Slice 78 of 155. Axial slice. Image size 240x240.
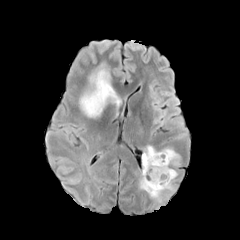
FLAIR magnetic resonance.
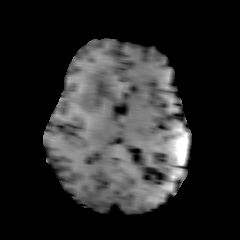
T1-weighted MRI.
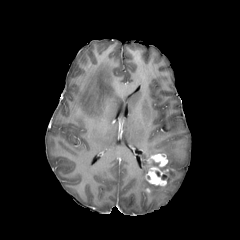
Post-contrast T1-weighted magnetic resonance.
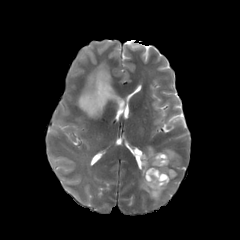
T2-weighted MRI of the same slice.
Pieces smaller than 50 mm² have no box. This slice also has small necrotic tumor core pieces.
2 peritumoral edema regions appear at box=[140, 145, 180, 201]; box=[79, 65, 119, 117]. The 2 largest enhancing tumor regions appear at box=[146, 166, 168, 185]; box=[150, 153, 167, 166].